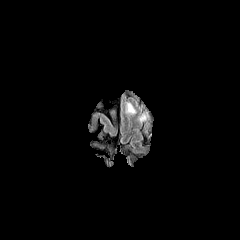
FLAIR MRI.
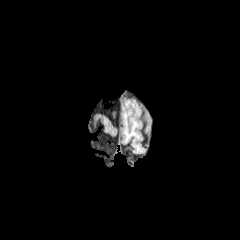
T1-weighted MRI.
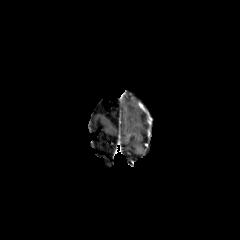
Post-contrast T1-weighted MR image.
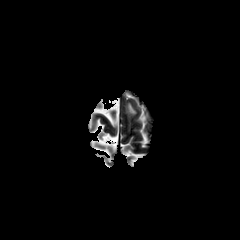
T2-weighted MRI of the same slice.
Image size 240x240, Axial slice
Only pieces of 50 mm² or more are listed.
The largest peritumoral edema region lies within [x1=126, y1=103, x2=135, y2=114].